Slice index 70; Brain
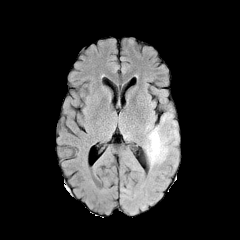
FLAIR MR image.
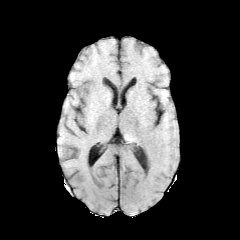
T1-weighted MR image.
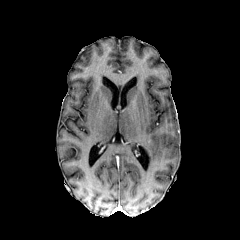
Post-contrast T1-weighted MRI.
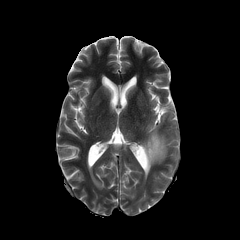
T2-weighted MR of the same slice.
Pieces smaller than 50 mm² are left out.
Findings:
• peritumoral edema: bbox(144, 126, 167, 166)